Brain; 240x240
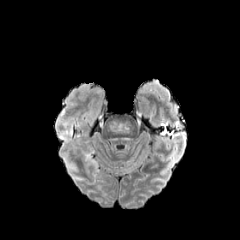
FLAIR MRI.
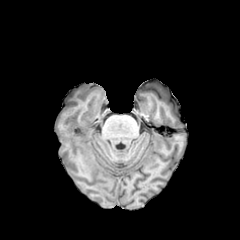
T1-weighted MR.
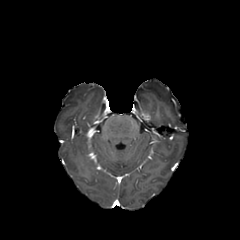
Post-contrast T1-weighted magnetic resonance.
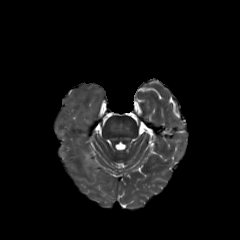
T2-weighted MR image.
peritumoral edema at 85, 153, 96, 165